FLAIR MR.
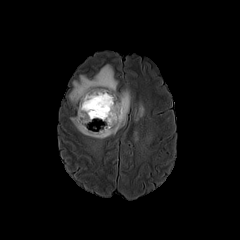
T1-weighted MR image.
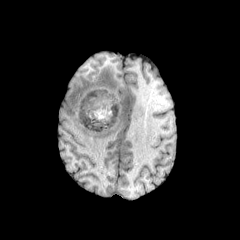
Post-contrast T1-weighted MRI.
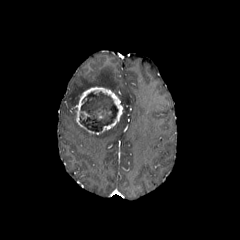
T2-weighted MRI.
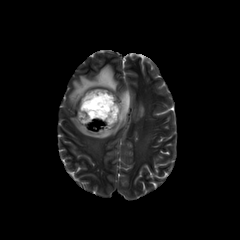
Axial view; Head
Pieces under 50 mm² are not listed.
2 peritumoral edema regions are located at <box>69,64,130,139</box>, <box>135,104,144,120</box>. The largest necrotic tumor core region is located at <box>80,92,118,132</box>. The largest enhancing tumor region appears at <box>75,87,123,133</box>.